FLAIR MR.
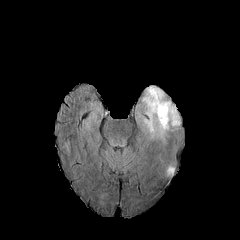
T1-weighted MR.
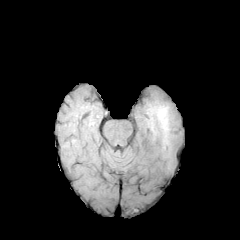
Post-contrast T1-weighted MR.
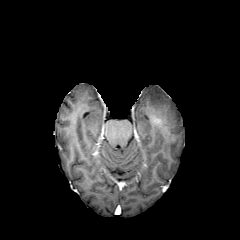
T2-weighted magnetic resonance.
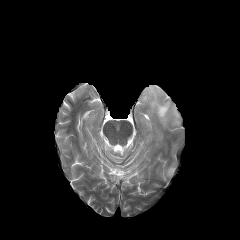
240x240.
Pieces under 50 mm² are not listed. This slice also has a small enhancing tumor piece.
peritumoral_edema:
  - <box>143,86,179,134</box>